Image covers 240 mm x 240 mm. Axial slice.
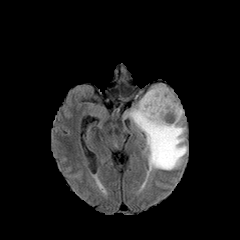
FLAIR MRI.
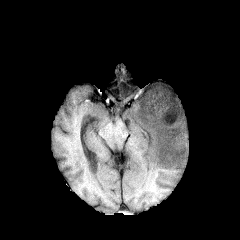
Same slice, T1-weighted MR.
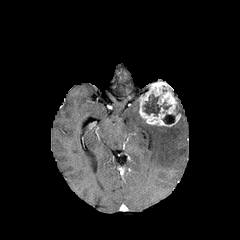
Post-contrast T1-weighted MR.
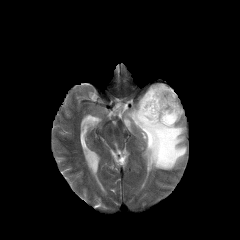
T2-weighted MRI.
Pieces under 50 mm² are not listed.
enhancing tumor: (139, 82, 181, 126) | necrotic tumor core: (143, 94, 170, 115), (163, 114, 175, 124) | peritumoral edema: (125, 102, 187, 171)